Axial slice | Image covers 240 mm x 240 mm | Slice index 22 | Head
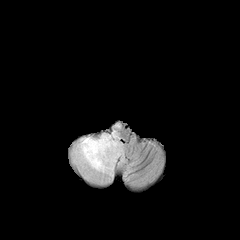
FLAIR magnetic resonance.
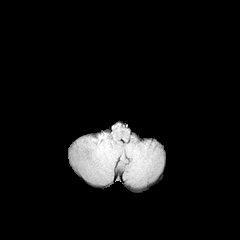
T1-weighted MR.
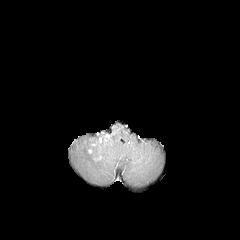
Post-contrast T1-weighted MR image.
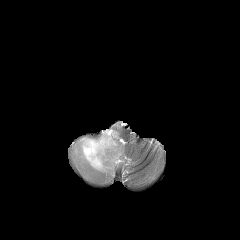
T2-weighted MRI.
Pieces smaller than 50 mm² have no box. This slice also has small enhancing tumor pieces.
{
  "peritumoral_edema": [
    {"x1": 70, "y1": 123, "x2": 126, "y2": 183}
  ]
}